FLAIR MRI.
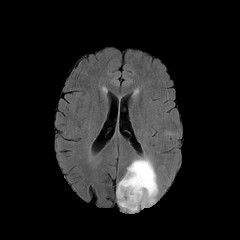
T1-weighted MR.
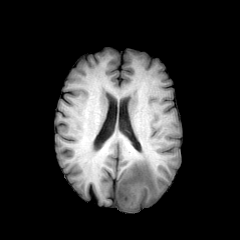
Post-contrast T1-weighted magnetic resonance.
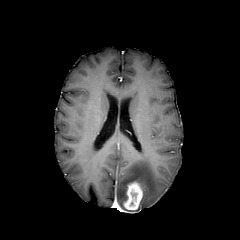
T2-weighted MR.
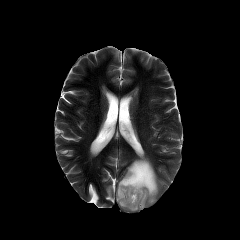
Axial slice. Head.
enhancing tumor: x1=124, y1=183, x2=143, y2=209
peritumoral edema: x1=117, y1=157, x2=158, y2=212